FLAIR magnetic resonance.
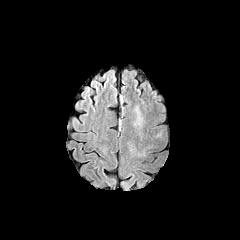
T1-weighted magnetic resonance.
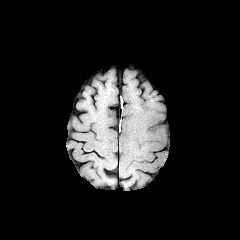
Post-contrast T1-weighted MR.
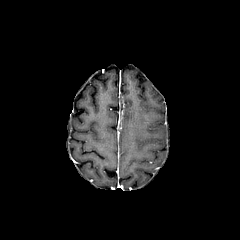
T2-weighted MRI.
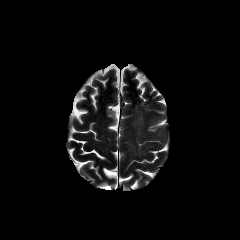
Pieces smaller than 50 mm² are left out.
Findings:
* peritumoral edema: box=[134, 106, 143, 129]